240x240 px, Brain
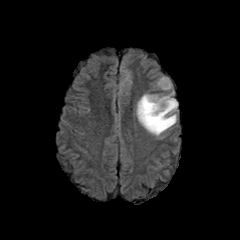
FLAIR MR.
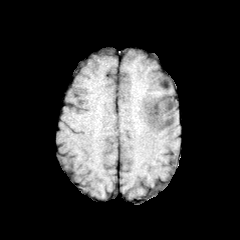
T1-weighted MR.
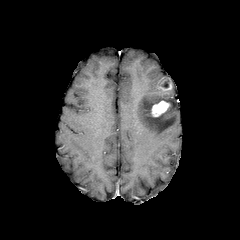
Same slice, post-contrast T1-weighted MR.
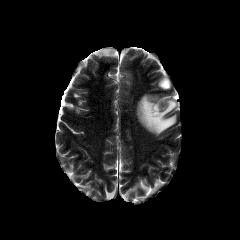
T2-weighted MR image.
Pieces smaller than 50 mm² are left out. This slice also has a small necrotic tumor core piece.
2 enhancing tumor regions appear at [x1=159, y1=77, x2=172, y2=90], [x1=151, y1=100, x2=170, y2=117]. The largest peritumoral edema region is located at [x1=136, y1=92, x2=177, y2=136].